Head, Image width 240 mm, Axial view
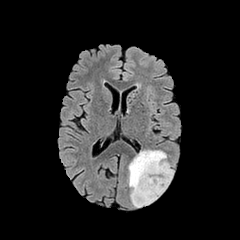
FLAIR MR.
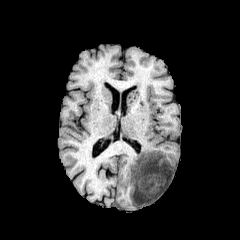
T1-weighted magnetic resonance.
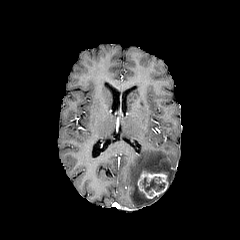
Post-contrast T1-weighted MR of the same slice.
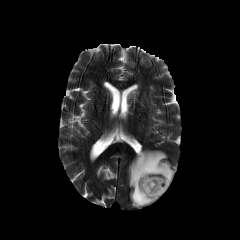
Same slice, T2-weighted MRI.
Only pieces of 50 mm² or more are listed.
{"enhancing_tumor": ["137:171:168:198"], "peritumoral_edema": ["128:150:173:207"], "necrotic_tumor_core": ["142:177:165:192"]}